FLAIR MR image.
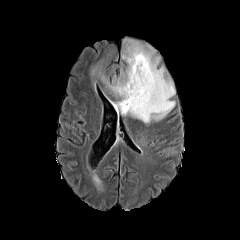
T1-weighted MRI.
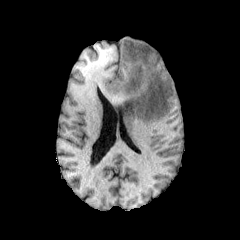
Post-contrast T1-weighted MR.
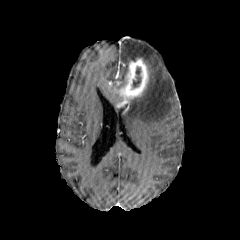
T2-weighted magnetic resonance.
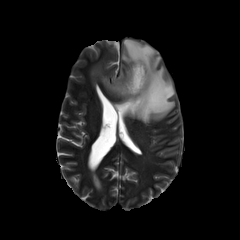
240x240 px
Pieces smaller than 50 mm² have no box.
peritumoral edema = [x1=89, y1=37, x2=176, y2=123]
necrotic tumor core = [x1=133, y1=67, x2=141, y2=87]
enhancing tumor = [x1=113, y1=58, x2=148, y2=114]